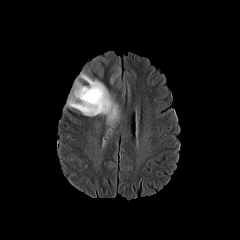
FLAIR MR image.
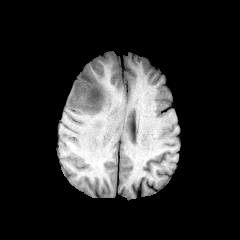
T1-weighted MR image of the same slice.
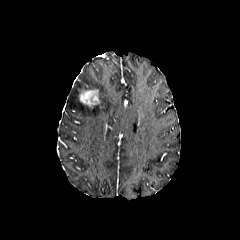
Same slice, post-contrast T1-weighted MR image.
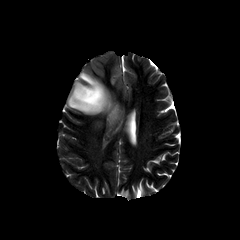
Same slice, T2-weighted magnetic resonance.
Axial slice | Head | 240x240 px
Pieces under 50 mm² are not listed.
Annotated regions:
- peritumoral edema: left=67, top=51, right=120, bottom=127
- enhancing tumor: left=79, top=89, right=100, bottom=107